Image covers 240 mm x 240 mm | Slice index 103 | Axial view | 240x240 | Head
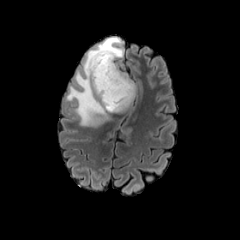
FLAIR magnetic resonance.
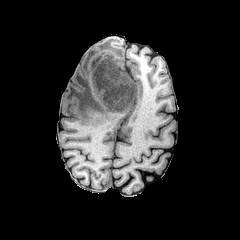
T1-weighted MR image.
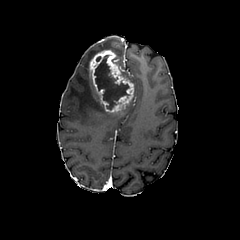
Post-contrast T1-weighted MRI of the same slice.
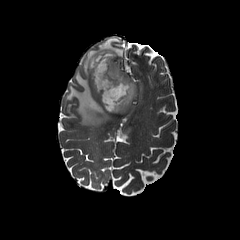
T2-weighted MRI of the same slice.
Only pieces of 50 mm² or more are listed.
The enhancing tumor is bounded by [x1=89, y1=50, x2=134, y2=112]. The largest peritumoral edema region lies within [x1=66, y1=37, x2=135, y2=127]. The largest necrotic tumor core region is at [x1=94, y1=55, x2=129, y2=110].